FLAIR MRI.
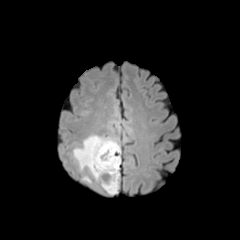
T1-weighted MRI.
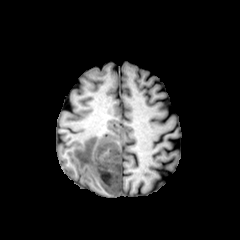
Post-contrast T1-weighted MR image.
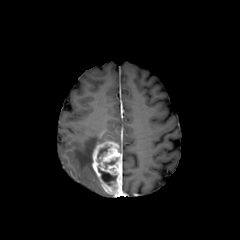
T2-weighted MR.
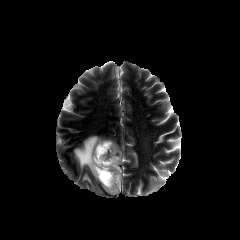
Brain
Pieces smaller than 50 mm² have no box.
<segmentation>
  <enhancing_tumor>{"x1": 92, "y1": 141, "x2": 121, "y2": 194}</enhancing_tumor>
  <necrotic_tumor_core>{"x1": 98, "y1": 168, "x2": 116, "y2": 185}, {"x1": 98, "y1": 146, "x2": 109, "y2": 161}</necrotic_tumor_core>
  <peritumoral_edema>{"x1": 73, "y1": 135, "x2": 116, "y2": 180}</peritumoral_edema>
</segmentation>